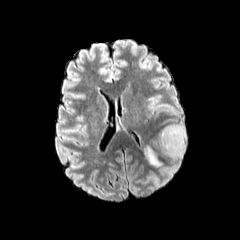
FLAIR MRI.
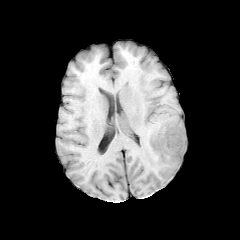
Same slice, T1-weighted MRI.
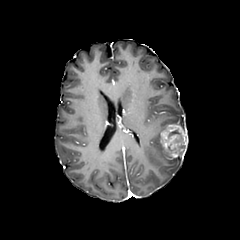
Same slice, post-contrast T1-weighted MRI.
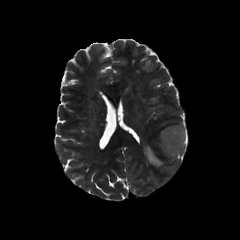
T2-weighted MRI.
Image size 240x240
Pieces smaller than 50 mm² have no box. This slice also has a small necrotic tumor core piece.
peritumoral edema: x1=145, y1=146, x2=161, y2=167; x1=156, y1=132, x2=181, y2=161 | enhancing tumor: x1=160, y1=123, x2=187, y2=159